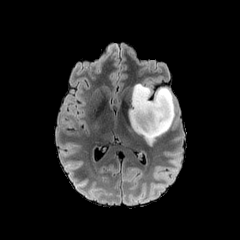
FLAIR magnetic resonance.
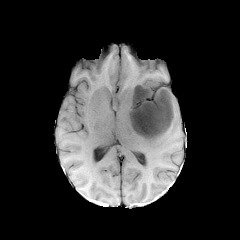
T1-weighted magnetic resonance of the same slice.
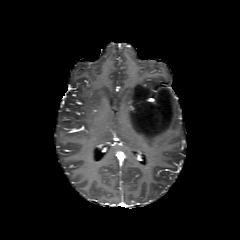
Post-contrast T1-weighted MR.
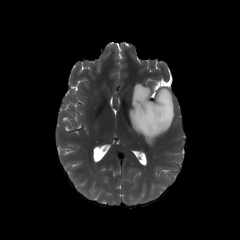
T2-weighted MRI.
Head.
Annotated regions:
• peritumoral edema: <bbox>129, 83, 174, 144</bbox>